FLAIR MR.
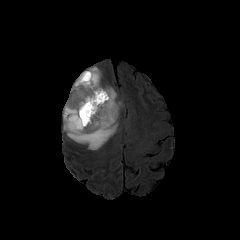
T1-weighted MR.
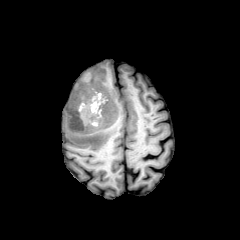
Post-contrast T1-weighted magnetic resonance.
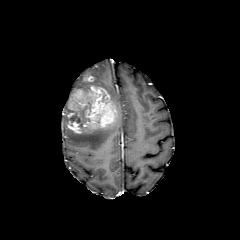
T2-weighted MR.
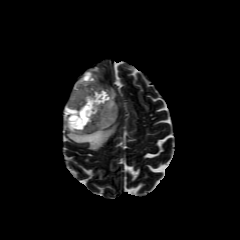
Brain; Axial plane
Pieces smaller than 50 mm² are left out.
enhancing tumor = bbox=[67, 85, 117, 133]; bbox=[82, 74, 94, 81]
peritumoral edema = bbox=[71, 67, 101, 92]; bbox=[104, 87, 120, 116]; bbox=[63, 115, 117, 150]
necrotic tumor core = bbox=[64, 102, 90, 127]